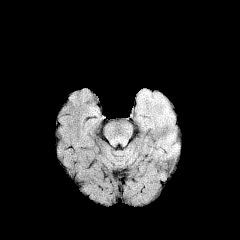
FLAIR MR.
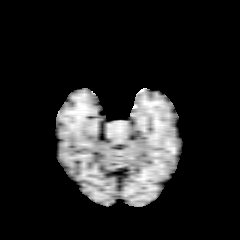
T1-weighted MR.
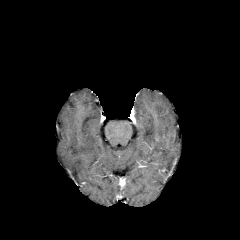
Post-contrast T1-weighted MR of the same slice.
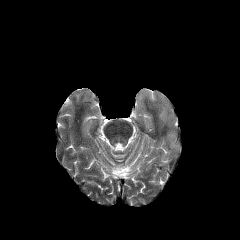
T2-weighted MRI.
Head. Axial plane.
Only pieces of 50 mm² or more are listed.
peritumoral edema at [x1=158, y1=111, x2=172, y2=125], [x1=167, y1=133, x2=174, y2=143]